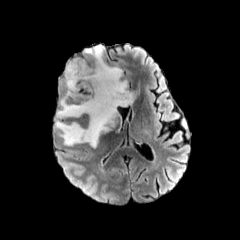
FLAIR MRI.
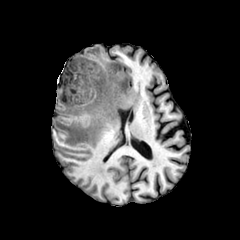
T1-weighted magnetic resonance.
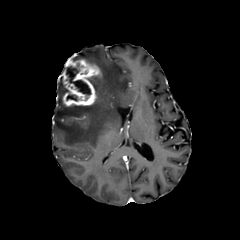
Post-contrast T1-weighted MR of the same slice.
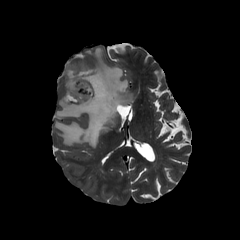
T2-weighted MRI.
240x240, Brain, Axial slice
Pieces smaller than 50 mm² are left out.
The largest peritumoral edema region lies within [55, 45, 133, 147]. 2 necrotic tumor core regions are bounded by [67, 95, 77, 100], [66, 67, 90, 94]. The enhancing tumor is bounded by [62, 59, 101, 106].